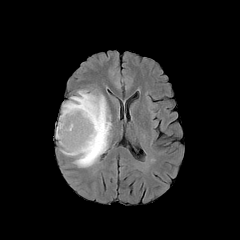
FLAIR MR image.
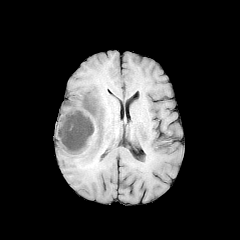
T1-weighted MRI.
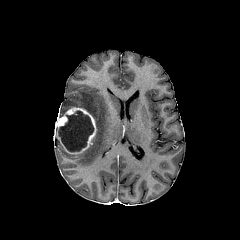
Same slice, post-contrast T1-weighted MR.
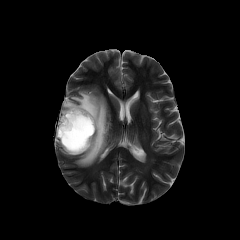
T2-weighted MR.
Brain | Axial view
<segmentation>
  <necrotic_tumor_core>[58, 111, 93, 151]</necrotic_tumor_core>
  <enhancing_tumor>[55, 107, 96, 154]</enhancing_tumor>
  <peritumoral_edema>[59, 90, 111, 167]</peritumoral_edema>
</segmentation>